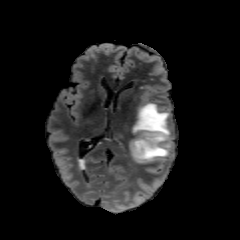
FLAIR MR.
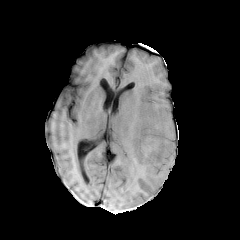
T1-weighted MR.
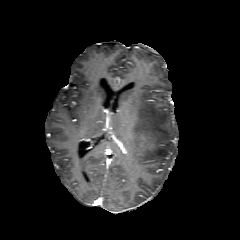
Post-contrast T1-weighted MR.
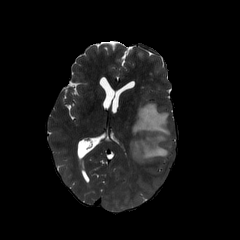
Same slice, T2-weighted MR image.
Image size 240x240 | Axial view | Head
{"peritumoral_edema": ["bbox(131, 102, 171, 163)"], "enhancing_tumor": ["bbox(136, 132, 155, 153)"]}